Image width 240 mm. Head. 240x240 px. Slice 69/155.
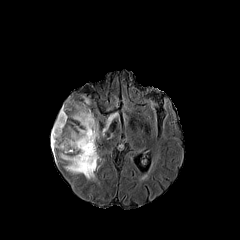
FLAIR MR image.
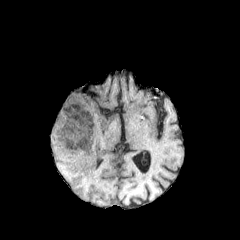
T1-weighted MR.
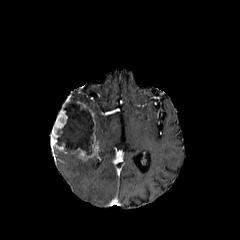
Same slice, post-contrast T1-weighted MR image.
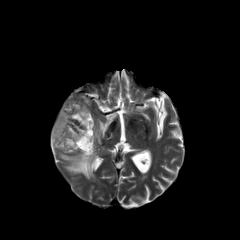
T2-weighted magnetic resonance of the same slice.
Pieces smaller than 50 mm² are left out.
The 3 largest peritumoral edema regions appear at x1=95 y1=120 x2=99 y2=140, x1=101 y1=114 x2=115 y2=136, x1=59 y1=153 x2=97 y2=179. The 2 largest enhancing tumor regions appear at x1=71 y1=131 x2=97 y2=160, x1=50 y1=97 x2=70 y2=153. The largest necrotic tumor core region lies within x1=57 y1=99 x2=94 y2=155.